FLAIR MRI.
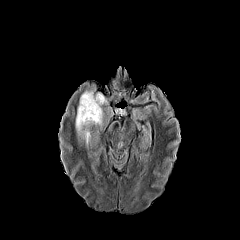
T1-weighted MR.
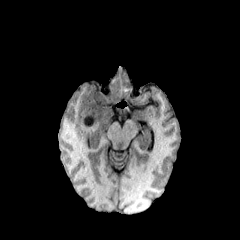
Post-contrast T1-weighted MR.
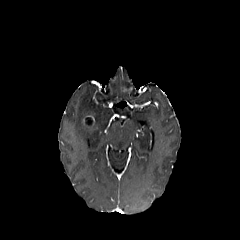
T2-weighted MR image.
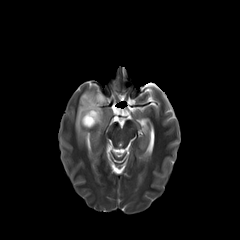
peritumoral edema = [x1=75, y1=91, x2=109, y2=142]
enhancing tumor = [x1=82, y1=115, x2=94, y2=126]
necrotic tumor core = [x1=85, y1=117, x2=92, y2=126]